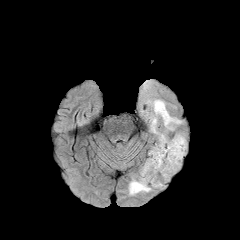
FLAIR MR.
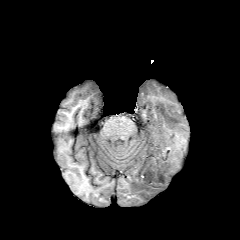
Same slice, T1-weighted MR.
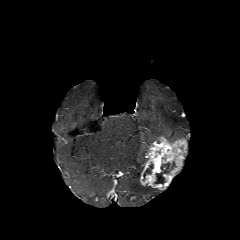
Same slice, post-contrast T1-weighted MR image.
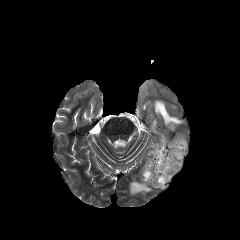
T2-weighted MR image of the same slice.
Axial slice; 240x240 px; Head
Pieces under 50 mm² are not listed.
enhancing_tumor:
  - [x1=140, y1=136, x2=187, y2=189]
necrotic_tumor_core:
  - [x1=155, y1=163, x2=169, y2=183]
  - [x1=143, y1=164, x2=152, y2=177]
peritumoral_edema:
  - [x1=150, y1=99, x2=183, y2=139]
  - [x1=129, y1=179, x2=152, y2=195]